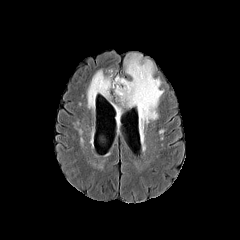
FLAIR MR image.
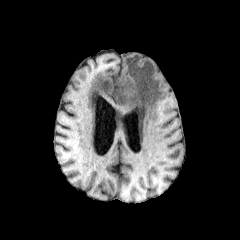
T1-weighted MR of the same slice.
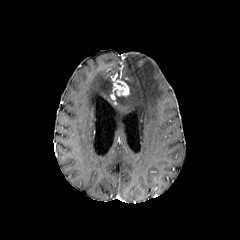
Post-contrast T1-weighted MRI of the same slice.
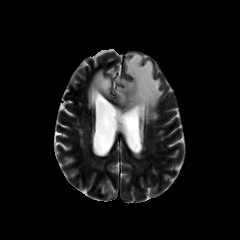
T2-weighted MRI.
Brain, 240x240
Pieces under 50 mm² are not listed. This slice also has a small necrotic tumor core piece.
peritumoral edema: 120:54:163:122, 87:68:114:107
enhancing tumor: 113:79:129:96